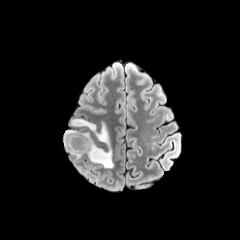
FLAIR magnetic resonance.
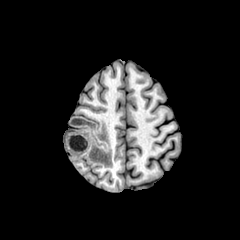
T1-weighted MR.
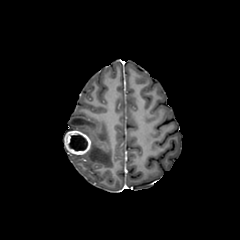
Same slice, post-contrast T1-weighted MRI.
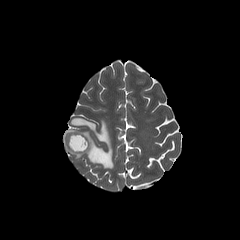
T2-weighted magnetic resonance of the same slice.
240x240 px; Head
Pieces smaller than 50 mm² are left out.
{"necrotic_tumor_core": ["region(68, 134, 87, 150)"], "enhancing_tumor": ["region(64, 130, 91, 155)"], "peritumoral_edema": ["region(63, 117, 113, 168)"]}